FLAIR magnetic resonance.
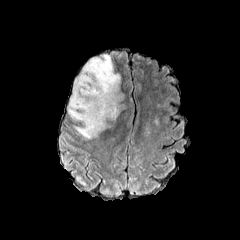
T1-weighted MR.
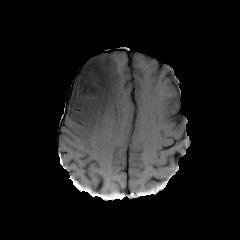
Post-contrast T1-weighted MR.
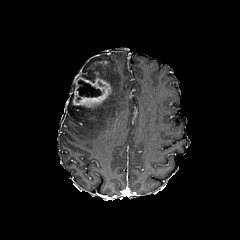
T2-weighted MR.
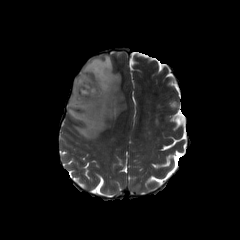
Brain, Image size 240x240
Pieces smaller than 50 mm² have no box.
<segmentation>
  <necrotic_tumor_core>left=76, top=80, right=101, bottom=99</necrotic_tumor_core>
  <enhancing_tumor>left=72, top=61, right=111, bottom=108</enhancing_tumor>
  <peritumoral_edema>left=67, top=54, right=126, bottom=139</peritumoral_edema>
</segmentation>